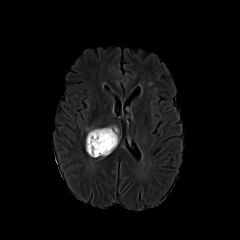
FLAIR MRI.
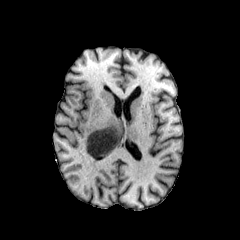
T1-weighted magnetic resonance.
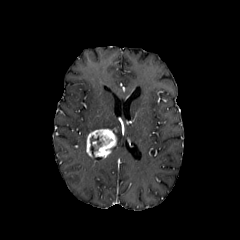
Post-contrast T1-weighted MR.
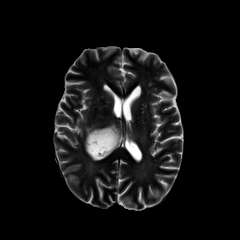
T2-weighted MR.
Axial slice
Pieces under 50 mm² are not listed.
necrotic_tumor_core:
  - {"x1": 90, "y1": 136, "x2": 101, "y2": 156}
peritumoral_edema:
  - {"x1": 85, "y1": 125, "x2": 119, "y2": 144}
enhancing_tumor:
  - {"x1": 86, "y1": 129, "x2": 117, "y2": 157}